Axial plane | Head | Slice 114 of 155
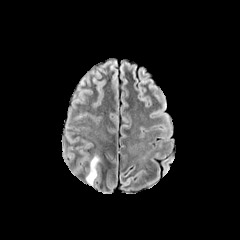
FLAIR MR image.
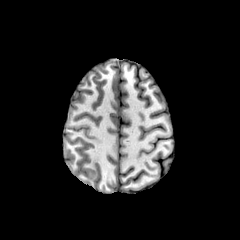
T1-weighted MR of the same slice.
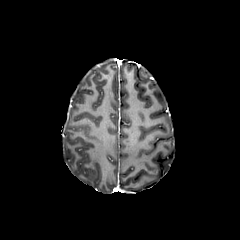
Post-contrast T1-weighted magnetic resonance.
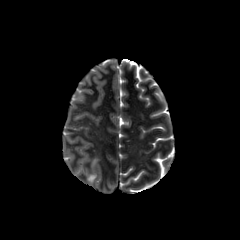
T2-weighted MR.
The peritumoral edema appears at (86, 157, 98, 184).